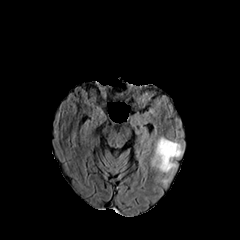
FLAIR MR image.
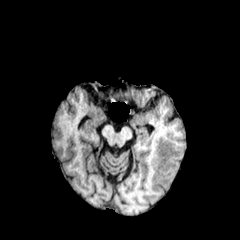
T1-weighted MRI.
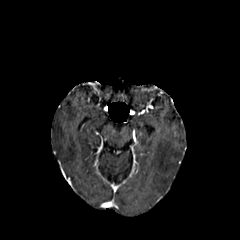
Post-contrast T1-weighted MR image.
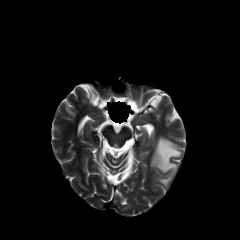
T2-weighted MR.
Image size 240x240. Head.
peritumoral edema: bounding box 152:137:182:185